Slice 60/155, Brain, Image width 240 mm, 1.00 mm slice spacing
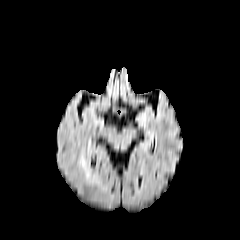
FLAIR MR image.
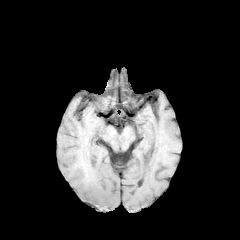
T1-weighted MRI.
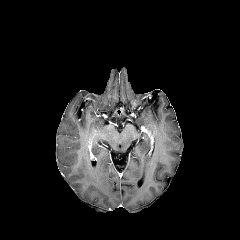
Same slice, post-contrast T1-weighted MR image.
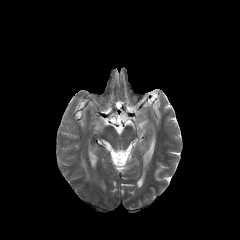
T2-weighted MRI.
peritumoral edema: 81, 158, 89, 177